Slice 91/155, Brain
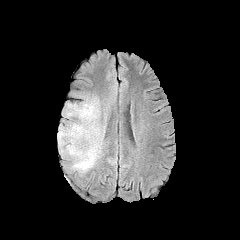
FLAIR MR.
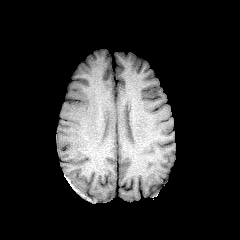
Same slice, T1-weighted MR.
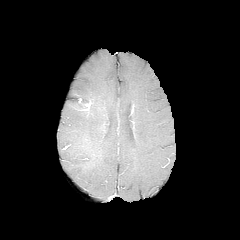
Post-contrast T1-weighted MRI.
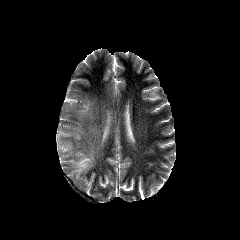
T2-weighted magnetic resonance of the same slice.
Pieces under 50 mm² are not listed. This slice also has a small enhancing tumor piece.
The peritumoral edema lies within left=58, top=96, right=101, bottom=173.